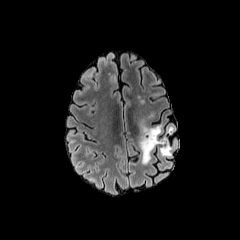
FLAIR MR.
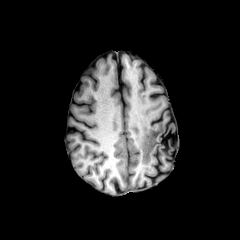
Same slice, T1-weighted MR.
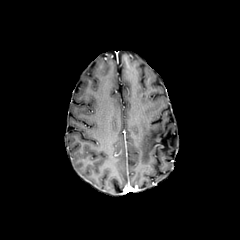
Post-contrast T1-weighted MR.
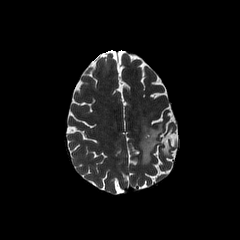
T2-weighted MRI of the same slice.
240x240
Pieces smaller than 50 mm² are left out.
peritumoral edema: l=139, t=125, r=172, b=164